Axial view. 240x240 px. Slice 71/155.
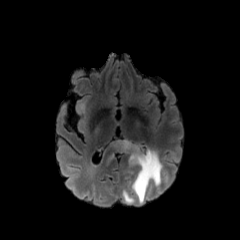
FLAIR MRI.
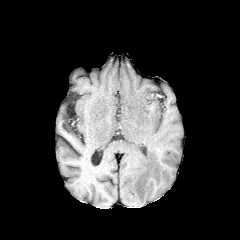
T1-weighted magnetic resonance.
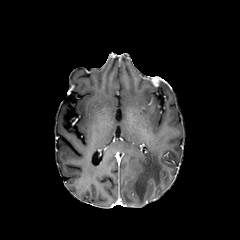
Post-contrast T1-weighted MRI of the same slice.
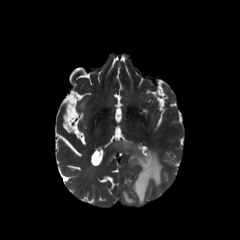
T2-weighted MR image.
peritumoral_edema:
  - bbox=[123, 191, 134, 203]
  - bbox=[113, 140, 162, 203]